FLAIR MR.
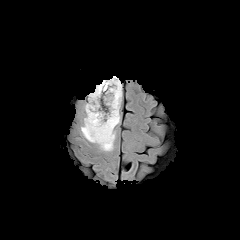
T1-weighted MR image.
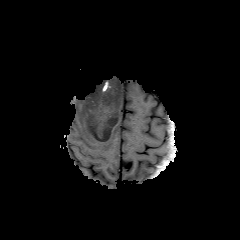
Post-contrast T1-weighted MR image.
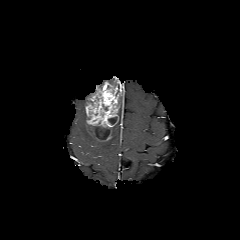
T2-weighted MR image.
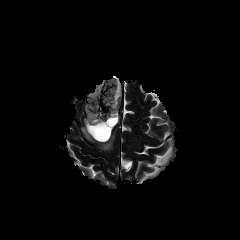
Axial view
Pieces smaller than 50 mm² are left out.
enhancing_tumor:
  - left=85, top=76, right=121, bottom=141
peritumoral_edema:
  - left=81, top=113, right=119, bottom=151
necrotic_tumor_core:
  - left=88, top=125, right=110, bottom=140
  - left=108, top=117, right=117, bottom=124